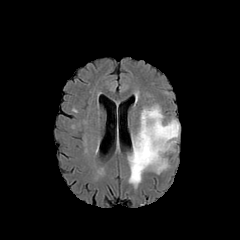
FLAIR magnetic resonance.
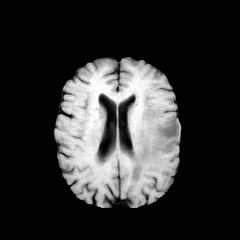
T1-weighted MR of the same slice.
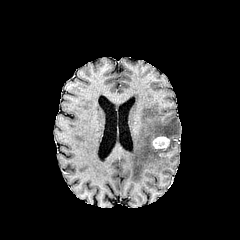
Same slice, post-contrast T1-weighted magnetic resonance.
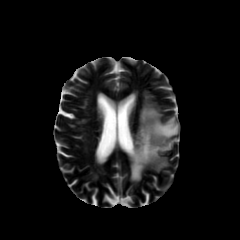
Same slice, T2-weighted MR image.
Brain | 240x240
enhancing tumor: (152,136,170,150)
peritumoral edema: (128,105,179,186)